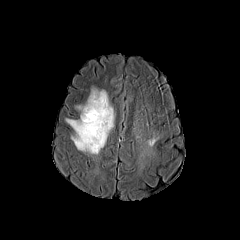
FLAIR magnetic resonance.
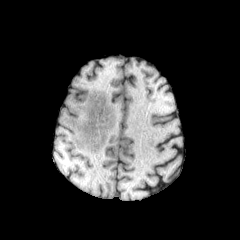
T1-weighted MR.
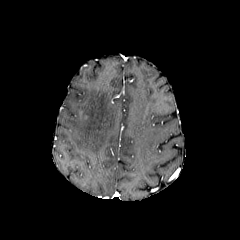
Same slice, post-contrast T1-weighted MR image.
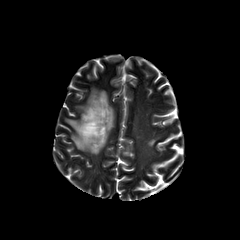
T2-weighted magnetic resonance of the same slice.
240x240; Head
peritumoral edema: 65:88:114:154